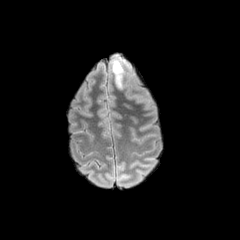
FLAIR MR image.
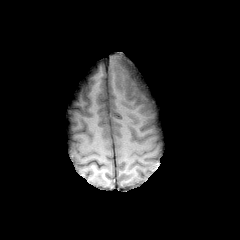
T1-weighted MR of the same slice.
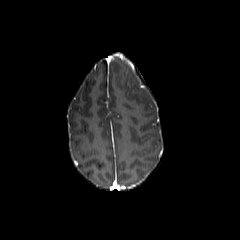
Same slice, post-contrast T1-weighted magnetic resonance.
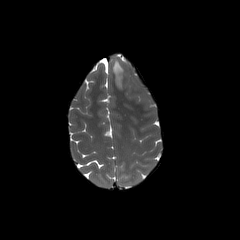
Same slice, T2-weighted MRI.
Brain
<segmentation>
  <peritumoral_edema>(x1=113, y1=61, x2=123, y2=88)</peritumoral_edema>
</segmentation>